Axial plane. Head. Slice 53/155.
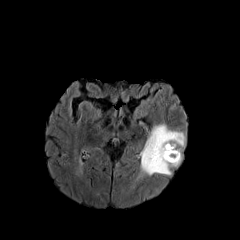
FLAIR magnetic resonance.
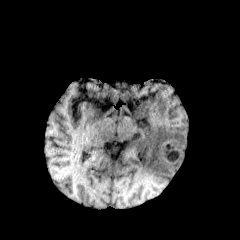
T1-weighted MR image of the same slice.
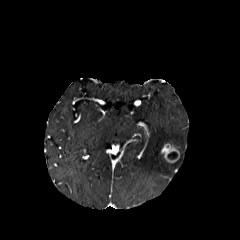
Post-contrast T1-weighted MR image.
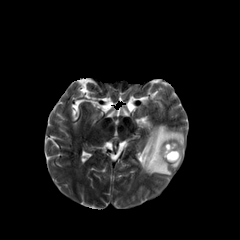
T2-weighted MRI of the same slice.
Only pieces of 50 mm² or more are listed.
necrotic tumor core: 168,151,177,159 | enhancing tumor: 161,143,179,162 | peritumoral edema: 141,124,185,175